Axial view
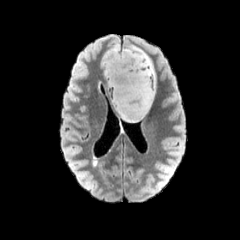
FLAIR MR image.
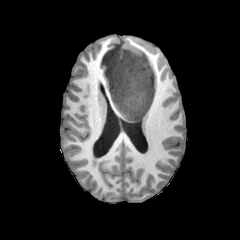
Same slice, T1-weighted MR image.
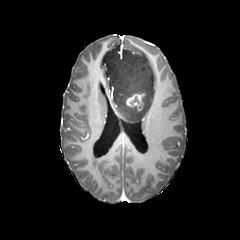
Post-contrast T1-weighted MR.
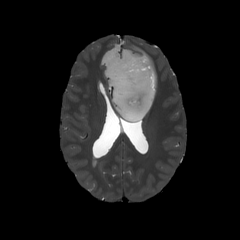
T2-weighted MR of the same slice.
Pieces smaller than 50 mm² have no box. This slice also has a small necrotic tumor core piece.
enhancing tumor — x1=126, y1=93, x2=145, y2=111
peritumoral edema — x1=102, y1=45, x2=155, y2=122